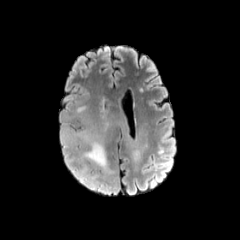
FLAIR magnetic resonance.
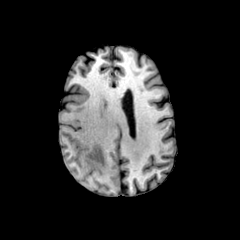
T1-weighted MRI.
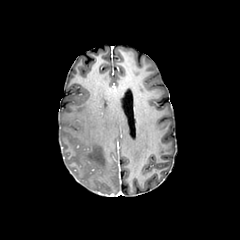
Post-contrast T1-weighted magnetic resonance.
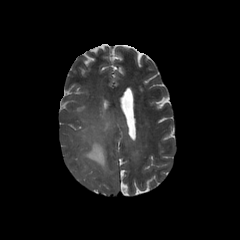
T2-weighted MR image.
Axial view
peritumoral edema — left=77, top=165, right=87, bottom=179; left=85, top=174, right=98, bottom=183; left=73, top=125, right=113, bottom=176